Slice 53 of 155. Axial plane.
FLAIR MRI.
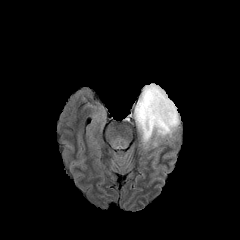
T1-weighted MR image.
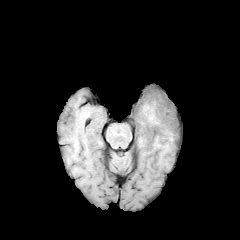
Post-contrast T1-weighted MRI.
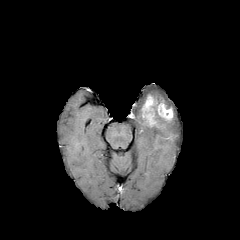
T2-weighted magnetic resonance.
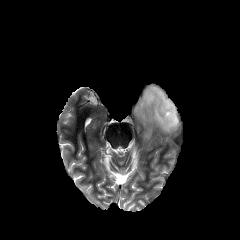
enhancing_tumor:
  - left=141, top=94, right=173, bottom=126
peritumoral_edema:
  - left=134, top=84, right=179, bottom=145